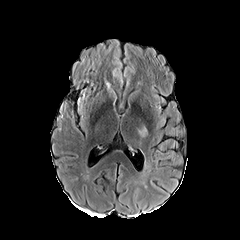
FLAIR MR image.
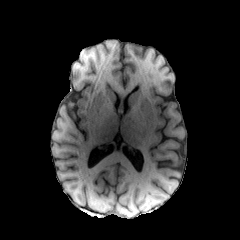
Same slice, T1-weighted MR image.
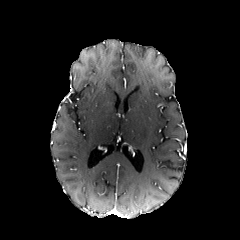
Post-contrast T1-weighted MRI.
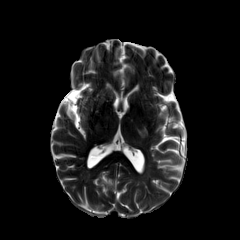
T2-weighted MR of the same slice.
Axial slice; Image size 240x240; Brain
peritumoral edema — [137, 126, 147, 136]